Axial view | Image width 240 mm
FLAIR MR image.
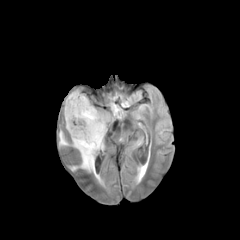
T1-weighted magnetic resonance.
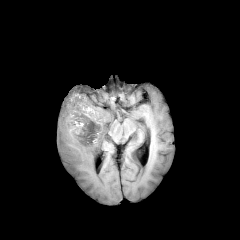
Post-contrast T1-weighted MRI.
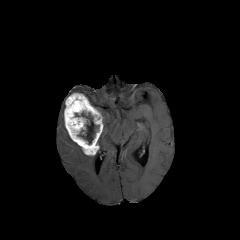
T2-weighted MR.
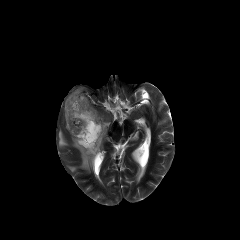
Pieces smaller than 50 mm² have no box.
necrotic tumor core: [78, 112, 98, 144]
enhancing tumor: [64, 92, 103, 155]
peritumoral edema: [72, 142, 94, 173], [59, 131, 68, 146], [98, 114, 106, 149]